Axial slice, Brain
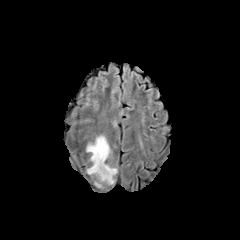
FLAIR MR.
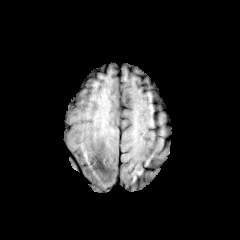
T1-weighted MRI of the same slice.
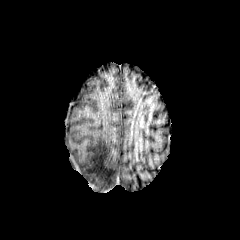
Post-contrast T1-weighted magnetic resonance.
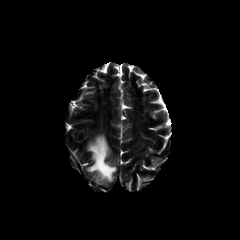
Same slice, T2-weighted magnetic resonance.
• peritumoral edema: <box>86,135,116,186</box>